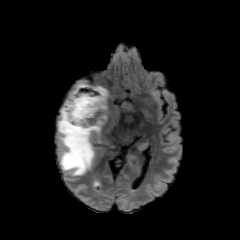
FLAIR MRI.
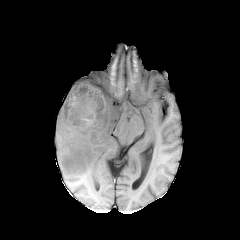
T1-weighted magnetic resonance.
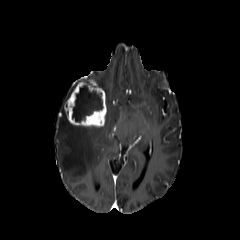
Post-contrast T1-weighted magnetic resonance.
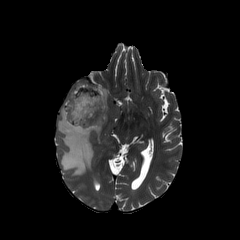
T2-weighted MR.
Brain | Axial slice
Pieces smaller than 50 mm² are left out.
enhancing tumor: bounding box x1=64 y1=81 x2=106 y2=127
peritumoral edema: bounding box x1=58 y1=86 x2=120 y2=175
necrotic tumor core: bounding box x1=72 y1=85 x2=102 y2=121